FLAIR magnetic resonance.
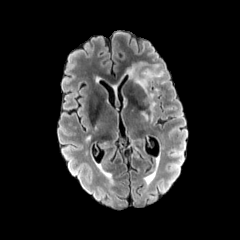
T1-weighted MR.
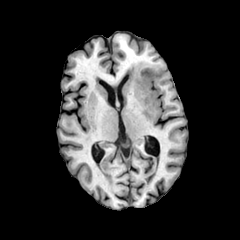
Post-contrast T1-weighted MRI.
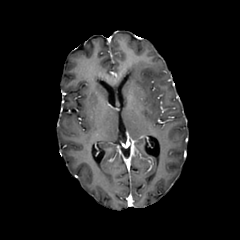
T2-weighted MRI.
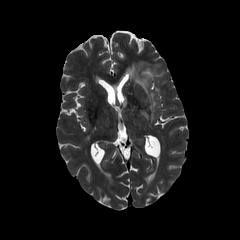
Head
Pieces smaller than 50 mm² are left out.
The largest peritumoral edema region appears at 125 62 163 120.